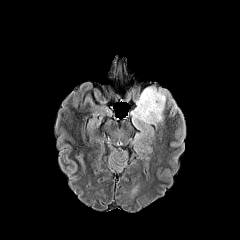
FLAIR MR.
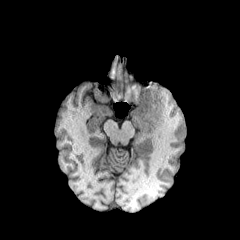
Same slice, T1-weighted MR image.
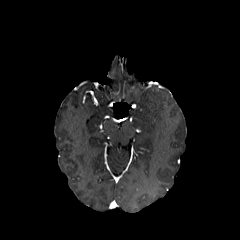
Post-contrast T1-weighted MRI.
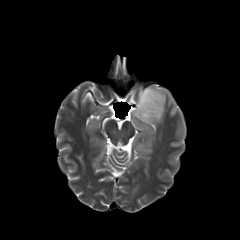
T2-weighted magnetic resonance of the same slice.
Axial view | Head
<segmentation>
  <peritumoral_edema>131, 87, 166, 140</peritumoral_edema>
</segmentation>